FLAIR magnetic resonance.
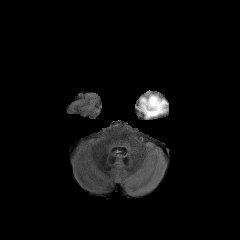
T1-weighted MR.
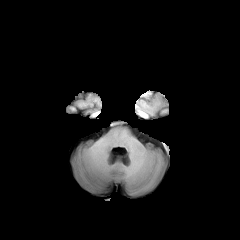
Post-contrast T1-weighted magnetic resonance.
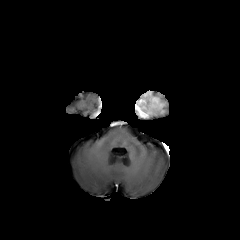
T2-weighted MR.
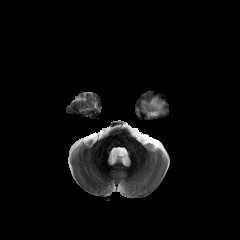
240x240
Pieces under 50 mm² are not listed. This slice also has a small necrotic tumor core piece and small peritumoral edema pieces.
<segmentation>
  <enhancing_tumor>region(137, 91, 165, 116)</enhancing_tumor>
</segmentation>